Brain
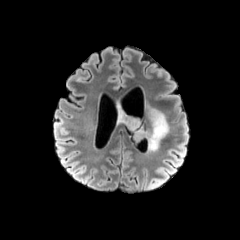
FLAIR MR image.
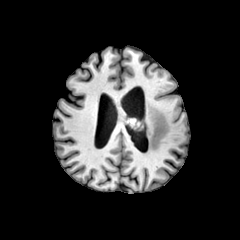
T1-weighted MR image of the same slice.
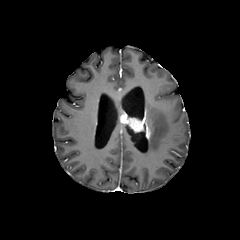
Post-contrast T1-weighted magnetic resonance.
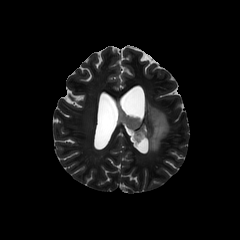
T2-weighted MR of the same slice.
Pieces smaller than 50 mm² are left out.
The 3 largest peritumoral edema regions are bounded by 148 106 169 151, 134 132 144 141, 117 101 124 115. The enhancing tumor is bounded by 119 114 150 139.